Slice 100 of 155; Axial plane; Brain
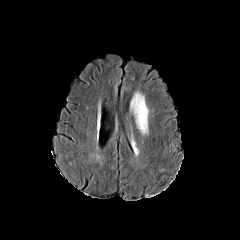
FLAIR MR.
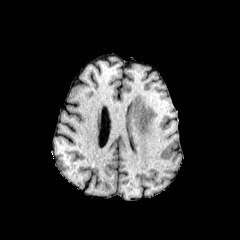
T1-weighted MR.
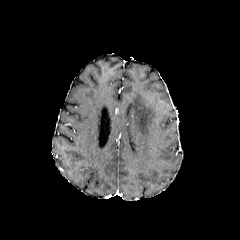
Post-contrast T1-weighted MRI.
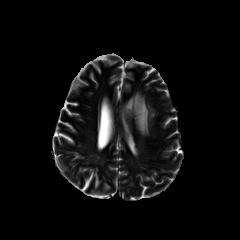
T2-weighted MR.
peritumoral edema: bounding box region(130, 92, 148, 134)